FLAIR MRI.
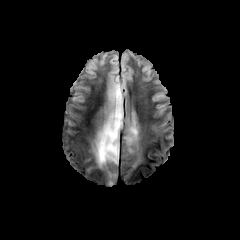
T1-weighted magnetic resonance.
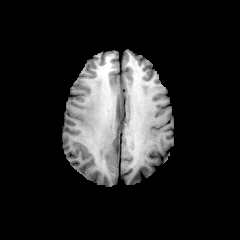
Post-contrast T1-weighted MR image.
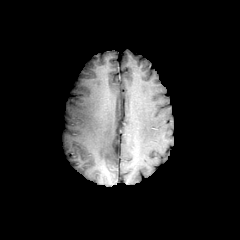
T2-weighted MR.
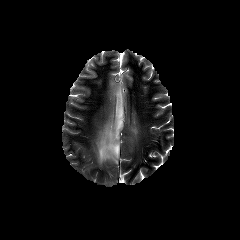
Axial view
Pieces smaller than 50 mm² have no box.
peritumoral edema: 94, 105, 123, 166